FLAIR magnetic resonance.
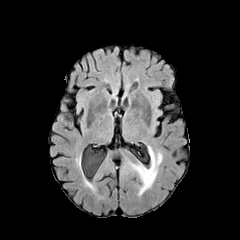
T1-weighted MR.
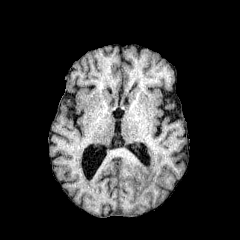
Post-contrast T1-weighted MR.
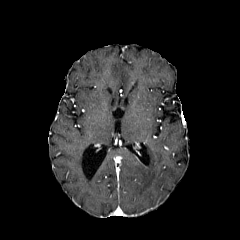
T2-weighted MR.
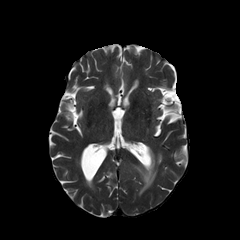
Image size 240x240
peritumoral edema = (x1=131, y1=147, x2=161, y2=195)